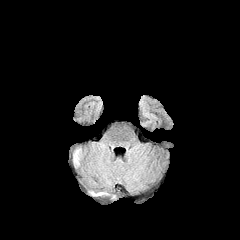
FLAIR MR.
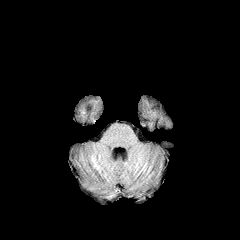
T1-weighted MRI of the same slice.
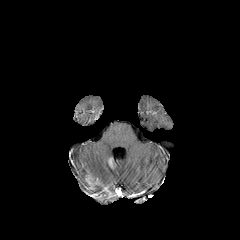
Same slice, post-contrast T1-weighted MR image.
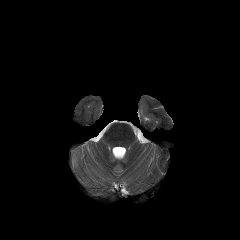
T2-weighted MRI.
Brain
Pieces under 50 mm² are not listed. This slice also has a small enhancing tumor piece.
peritumoral edema — rect(74, 150, 79, 164)